FLAIR MRI.
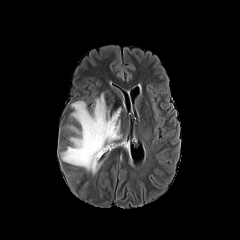
T1-weighted MR image.
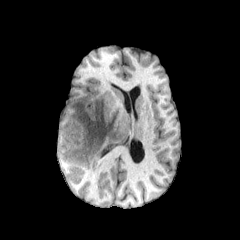
Post-contrast T1-weighted magnetic resonance.
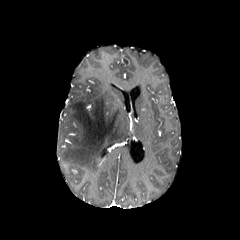
T2-weighted MR.
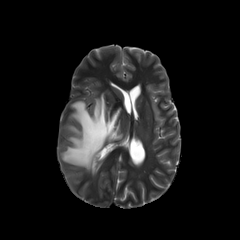
Head, Axial slice
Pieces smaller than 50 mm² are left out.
• peritumoral edema: {"x1": 61, "y1": 93, "x2": 121, "y2": 174}